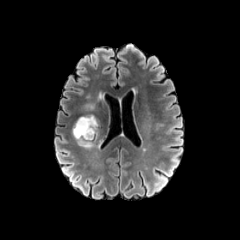
FLAIR MR image.
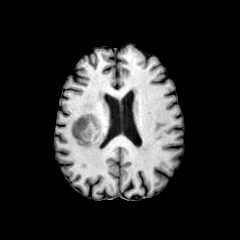
T1-weighted MRI of the same slice.
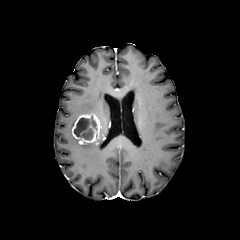
Post-contrast T1-weighted MR.
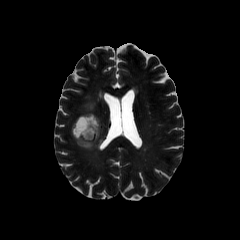
T2-weighted MRI.
Axial slice; Brain
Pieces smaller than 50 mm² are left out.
peritumoral edema = 79, 142, 94, 148; 85, 103, 94, 110
enhancing tumor = 72, 114, 100, 144
necrotic tumor core = 74, 117, 96, 139